Axial plane; Head; Image width 240 mm, 1.00 mm slice spacing
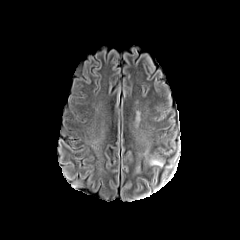
FLAIR MRI.
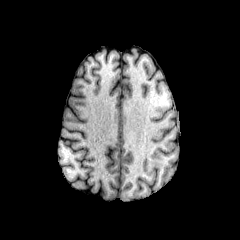
T1-weighted MR.
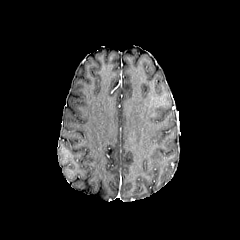
Same slice, post-contrast T1-weighted MR image.
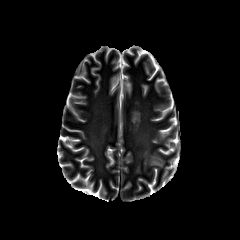
T2-weighted MR image.
Segmented structures:
• peritumoral edema: {"x1": 150, "y1": 159, "x2": 162, "y2": 166}